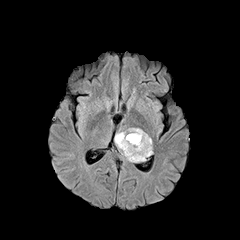
FLAIR MR image.
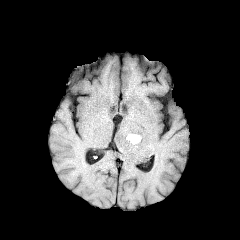
T1-weighted MRI.
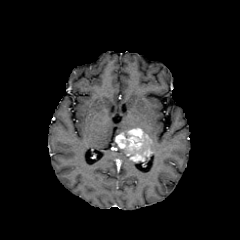
Post-contrast T1-weighted MR.
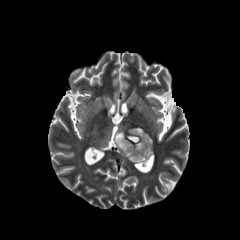
T2-weighted MR.
240x240; Brain
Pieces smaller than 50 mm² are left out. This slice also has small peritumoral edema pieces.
Annotated regions:
* enhancing tumor: 115, 128, 152, 162